FLAIR MR.
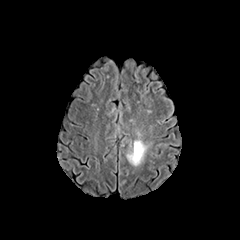
T1-weighted magnetic resonance.
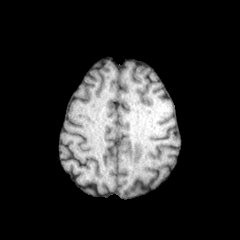
Post-contrast T1-weighted MR image.
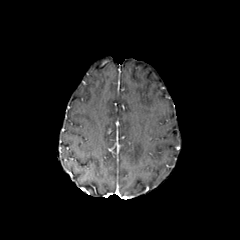
T2-weighted MR image.
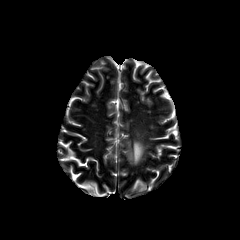
240x240. Brain.
peritumoral_edema:
  - 126:129:148:165